Axial slice; Slice 91 of 155
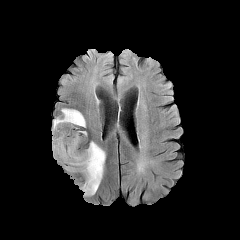
FLAIR MR.
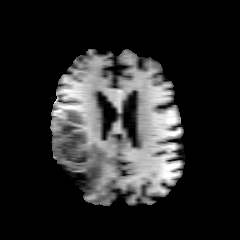
T1-weighted MR image of the same slice.
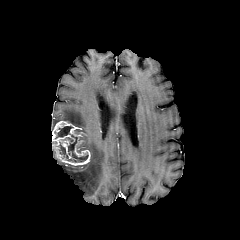
Post-contrast T1-weighted magnetic resonance of the same slice.
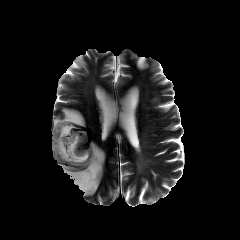
T2-weighted MRI.
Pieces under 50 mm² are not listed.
{
  "peritumoral_edema": [
    "bbox(64, 141, 105, 196)",
    "bbox(52, 108, 85, 129)"
  ],
  "necrotic_tumor_core": [
    "bbox(55, 126, 72, 138)",
    "bbox(60, 135, 88, 162)"
  ],
  "enhancing_tumor": [
    "bbox(52, 120, 90, 165)"
  ]
}